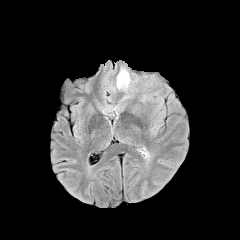
FLAIR MRI.
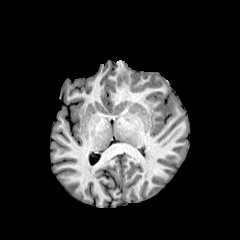
Same slice, T1-weighted magnetic resonance.
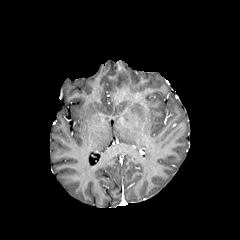
Post-contrast T1-weighted MR image of the same slice.
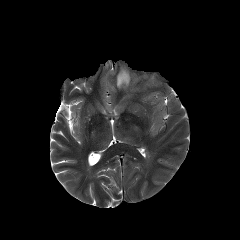
T2-weighted MR image of the same slice.
240x240 | Axial plane | Head
peritumoral edema: bbox=[116, 64, 170, 105]